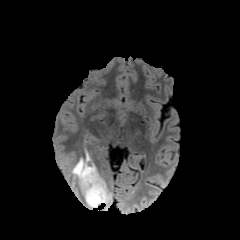
FLAIR magnetic resonance.
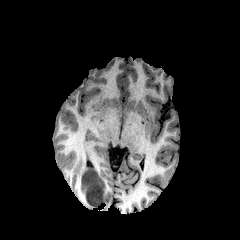
T1-weighted MR.
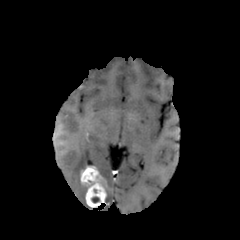
Post-contrast T1-weighted MR image of the same slice.
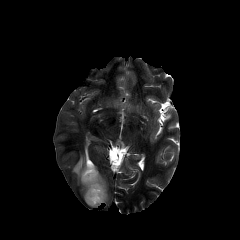
T2-weighted MR image of the same slice.
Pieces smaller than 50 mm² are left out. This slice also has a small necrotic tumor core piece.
The 2 largest peritumoral edema regions are bounded by 105, 183, 111, 205; 72, 149, 94, 195. The enhancing tumor lies within 80, 166, 106, 207.